FLAIR magnetic resonance.
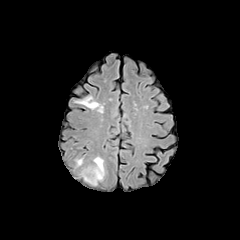
T1-weighted MRI.
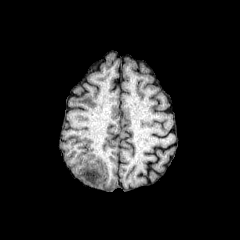
Post-contrast T1-weighted MR image.
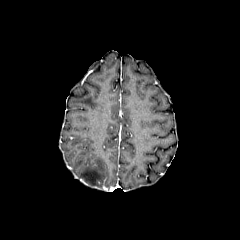
T2-weighted magnetic resonance.
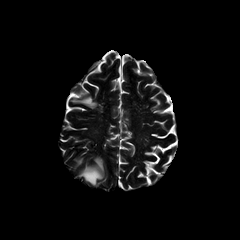
Brain
2 peritumoral edema regions are located at <box>75,158,83,167</box>, <box>80,156,104,185</box>.